Slice index 85, Axial slice
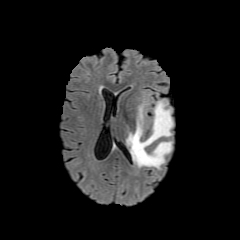
FLAIR magnetic resonance.
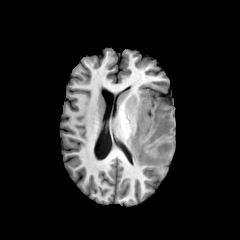
Same slice, T1-weighted MR.
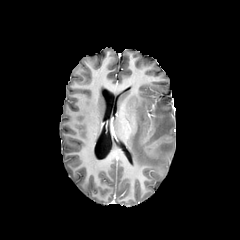
Post-contrast T1-weighted MRI of the same slice.
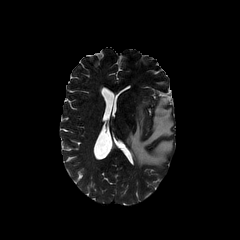
T2-weighted MR of the same slice.
peritumoral edema: x1=126, y1=99, x2=173, y2=168